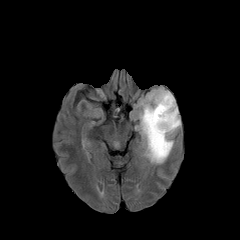
FLAIR MR.
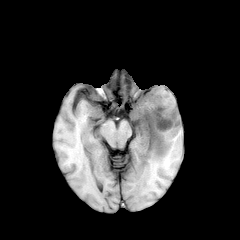
T1-weighted MRI.
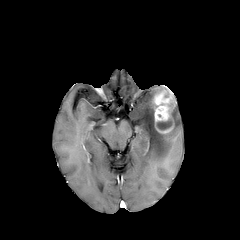
Post-contrast T1-weighted magnetic resonance.
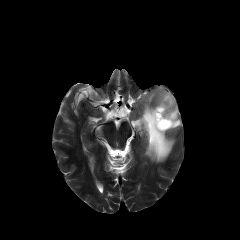
T2-weighted magnetic resonance of the same slice.
Axial view
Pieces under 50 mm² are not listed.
necrotic tumor core: rect(157, 120, 171, 129) | peritumoral edema: rect(137, 87, 180, 163) | enhancing tumor: rect(152, 90, 174, 133)